Axial plane. 240x240.
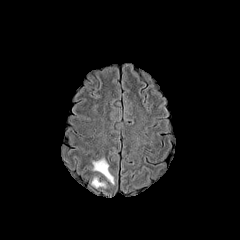
FLAIR MR image.
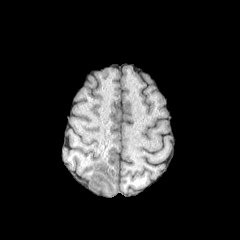
T1-weighted MRI.
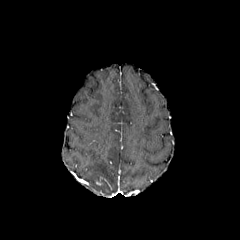
Post-contrast T1-weighted MR image.
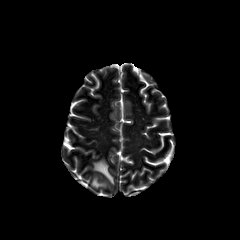
T2-weighted MRI.
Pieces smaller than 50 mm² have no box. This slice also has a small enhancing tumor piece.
peritumoral edema = bbox(91, 176, 106, 188); bbox(92, 158, 114, 184)